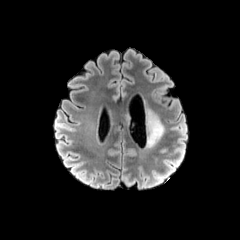
FLAIR MR image.
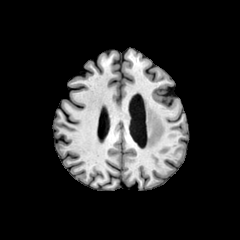
T1-weighted MR image of the same slice.
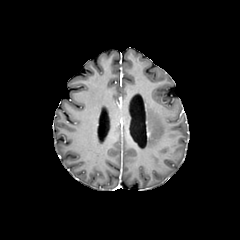
Post-contrast T1-weighted magnetic resonance of the same slice.
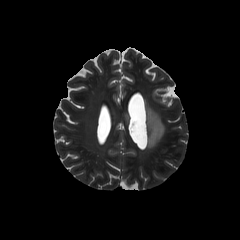
T2-weighted magnetic resonance.
Image size 240x240 | Axial plane | Brain
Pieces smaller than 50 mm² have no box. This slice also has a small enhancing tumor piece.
The largest peritumoral edema region is at 146 108 164 148.